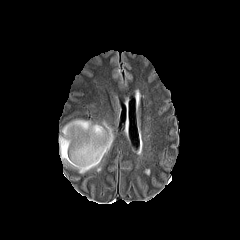
FLAIR MRI.
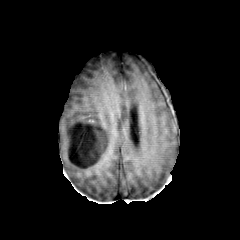
T1-weighted MR image.
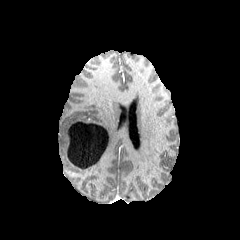
Post-contrast T1-weighted MR.
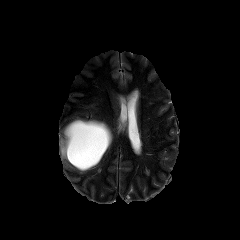
T2-weighted MR image of the same slice.
Axial plane | Head
{"necrotic_tumor_core": ["bbox=[66, 121, 109, 168]"], "peritumoral_edema": ["bbox=[59, 118, 114, 173]"]}